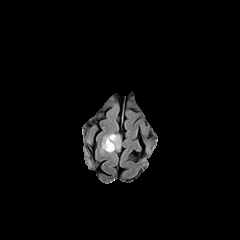
FLAIR MRI.
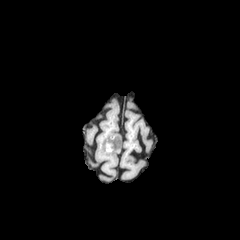
T1-weighted MR.
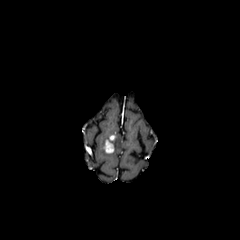
Post-contrast T1-weighted magnetic resonance.
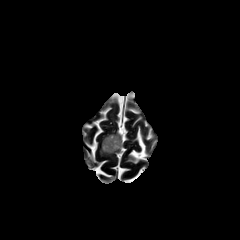
T2-weighted MR of the same slice.
Head
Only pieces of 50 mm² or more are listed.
The largest enhancing tumor region appears at x1=103, y1=139, x2=114, y2=153. The peritumoral edema is at x1=100, y1=133, x2=121, y2=154.